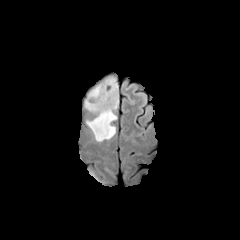
FLAIR MR image.
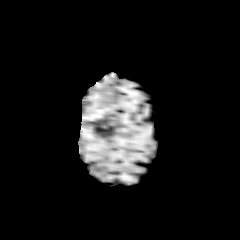
T1-weighted MR image.
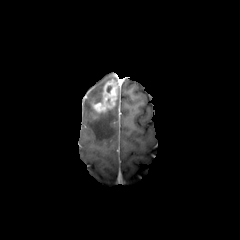
Same slice, post-contrast T1-weighted MR.
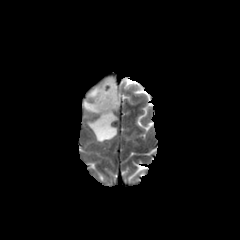
T2-weighted magnetic resonance.
Axial view
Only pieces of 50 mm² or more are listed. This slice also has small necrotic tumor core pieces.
The 2 largest peritumoral edema regions appear at left=87, top=96, right=118, bottom=142; left=86, top=84, right=104, bottom=111. The enhancing tumor is located at left=93, top=80, right=117, bottom=112.